Image width 240 mm | Head
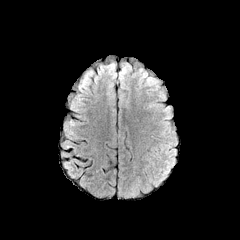
FLAIR MRI.
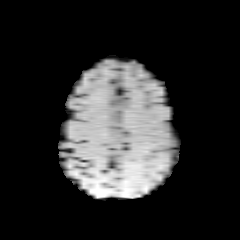
T1-weighted magnetic resonance.
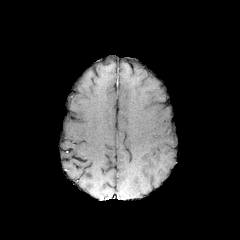
Post-contrast T1-weighted MR.
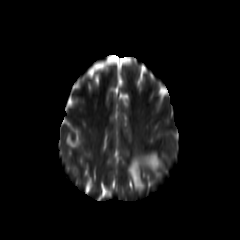
T2-weighted MR image of the same slice.
peritumoral edema: l=149, t=154, r=158, b=168